FLAIR MR.
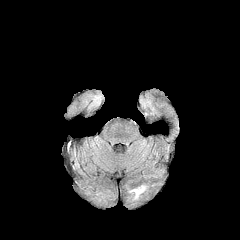
T1-weighted magnetic resonance.
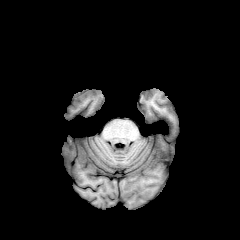
Post-contrast T1-weighted MR.
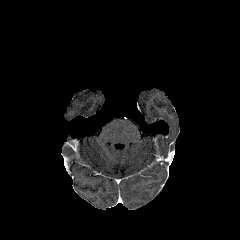
T2-weighted MRI.
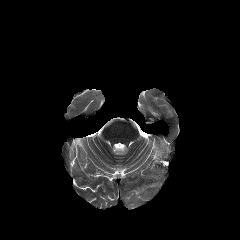
Brain
The peritumoral edema is at <bbox>133, 187, 144, 196</bbox>.